FLAIR MRI.
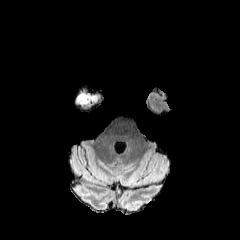
T1-weighted MR.
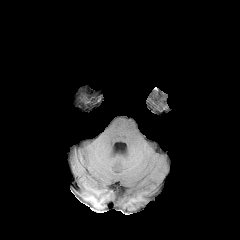
Post-contrast T1-weighted magnetic resonance.
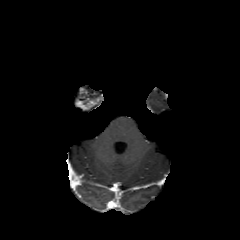
T2-weighted MR.
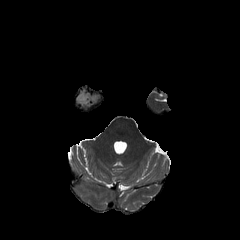
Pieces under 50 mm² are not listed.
Findings:
- peritumoral edema: [74, 94, 99, 106]
- enhancing tumor: [79, 98, 99, 106]